Slice index 62
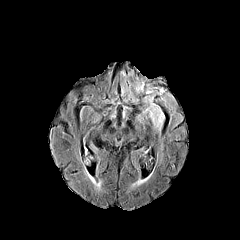
FLAIR MR image.
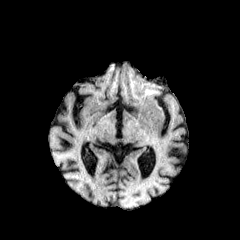
T1-weighted MR of the same slice.
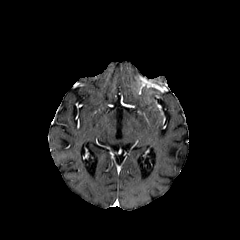
Post-contrast T1-weighted magnetic resonance.
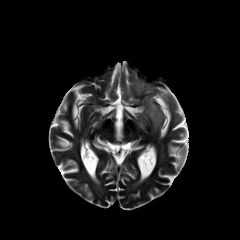
T2-weighted magnetic resonance.
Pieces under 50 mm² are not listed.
Segmented structures:
- enhancing tumor: [x1=138, y1=79, x2=165, y2=92]
- peritumoral edema: [x1=144, y1=96, x2=164, y2=130]